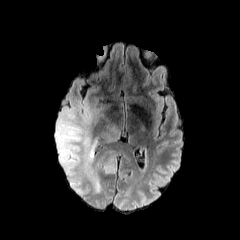
FLAIR MR image.
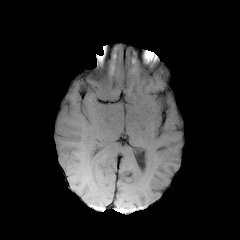
T1-weighted MR.
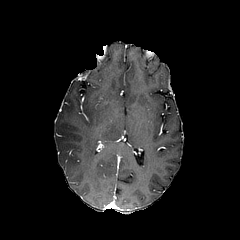
Post-contrast T1-weighted magnetic resonance of the same slice.
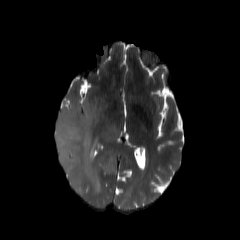
T2-weighted MR image.
Axial view
peritumoral edema at 102,125,120,142; 55,98,116,194